FLAIR MRI.
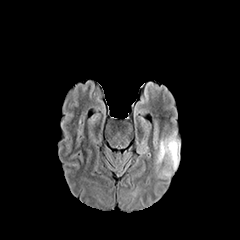
T1-weighted MR.
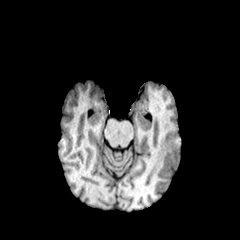
Post-contrast T1-weighted MRI.
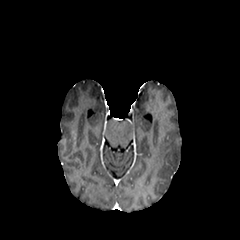
T2-weighted MRI.
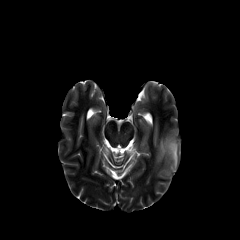
Head
Segmented structures:
* peritumoral edema: bbox(156, 131, 180, 177)